Slice index 74; 240x240
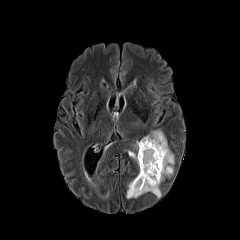
FLAIR MR image.
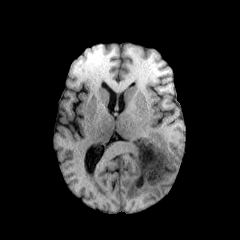
Same slice, T1-weighted MR.
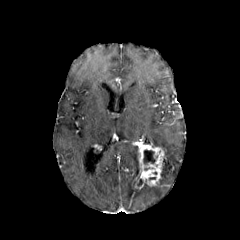
Post-contrast T1-weighted MRI.
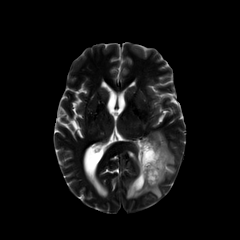
Same slice, T2-weighted MR image.
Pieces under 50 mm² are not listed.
The enhancing tumor is at {"x1": 135, "y1": 139, "x2": 164, "y2": 189}. The largest necrotic tumor core region is located at {"x1": 143, "y1": 150, "x2": 155, "y2": 164}. The 3 largest peritumoral edema regions appear at {"x1": 126, "y1": 178, "x2": 161, "y2": 198}, {"x1": 128, "y1": 151, "x2": 138, "y2": 165}, {"x1": 143, "y1": 130, "x2": 174, "y2": 182}.